Axial slice. Image size 240x240. Slice 118 of 155.
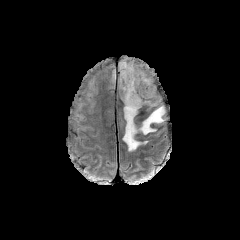
FLAIR MR.
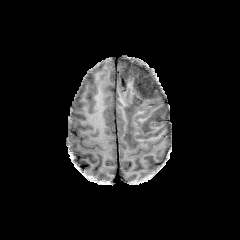
T1-weighted MR.
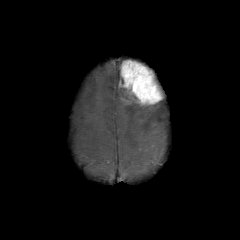
Post-contrast T1-weighted MR of the same slice.
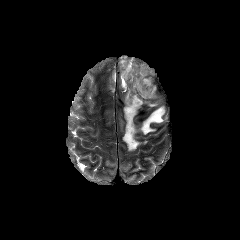
T2-weighted MRI.
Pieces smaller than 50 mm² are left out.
{
  "enhancing_tumor": [
    "x1=119, y1=60, x2=165, y2=106"
  ],
  "peritumoral_edema": [
    "x1=123, y1=92, x2=141, y2=150",
    "x1=139, y1=106, x2=165, y2=134"
  ]
}